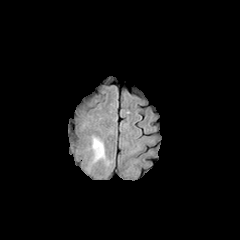
FLAIR MRI.
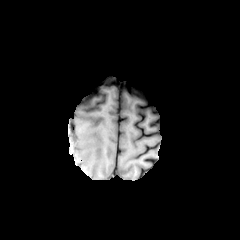
Same slice, T1-weighted MR image.
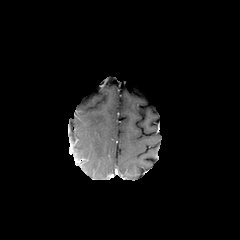
Post-contrast T1-weighted MRI.
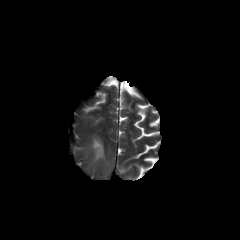
Same slice, T2-weighted MR image.
Axial slice, Brain
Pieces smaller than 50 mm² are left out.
peritumoral edema: bounding box x1=92 y1=136 x2=105 y2=162